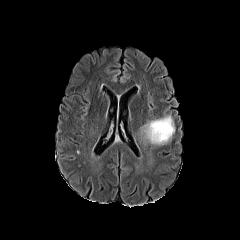
FLAIR MR image.
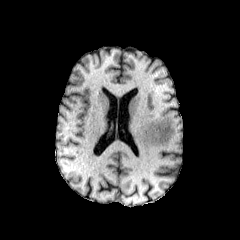
T1-weighted magnetic resonance.
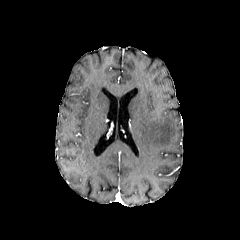
Post-contrast T1-weighted MR image.
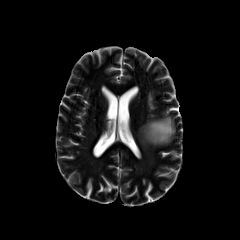
T2-weighted MR image of the same slice.
The peritumoral edema is bounded by [141, 115, 174, 145].